FLAIR MRI.
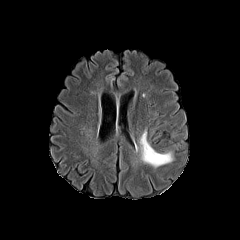
T1-weighted MRI.
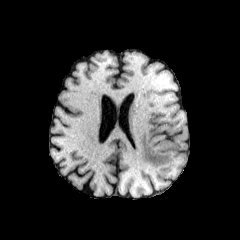
Post-contrast T1-weighted magnetic resonance.
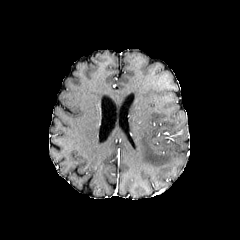
T2-weighted MRI.
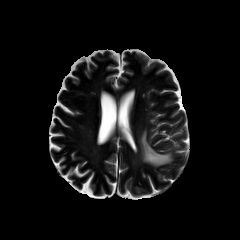
The peritumoral edema is at rect(138, 127, 175, 168).